Head, Axial plane, Image covers 240 mm x 240 mm, Slice 56/155
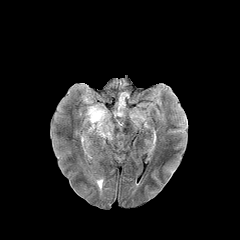
FLAIR MRI.
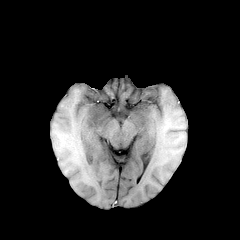
Same slice, T1-weighted magnetic resonance.
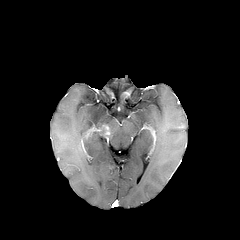
Post-contrast T1-weighted MRI.
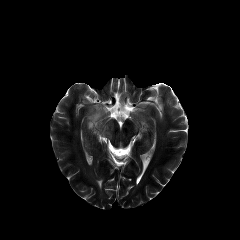
T2-weighted MR image.
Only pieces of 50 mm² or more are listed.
The 2 largest peritumoral edema regions appear at (x1=95, y1=128, x2=111, y2=138), (x1=87, y1=106, x2=111, y2=130). The largest enhancing tumor region is bounded by (x1=102, y1=125, x2=109, y2=134).